Slice 107 of 155; Head; Image width 240 mm, 1.00 mm slice spacing
FLAIR magnetic resonance.
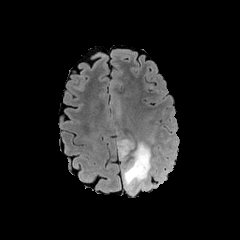
T1-weighted MRI.
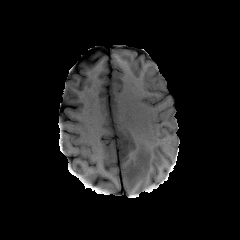
Post-contrast T1-weighted MR.
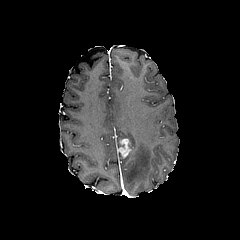
T2-weighted magnetic resonance.
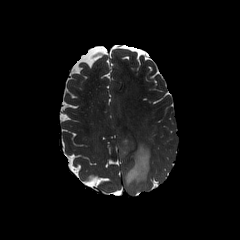
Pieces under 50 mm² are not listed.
peritumoral edema: box=[119, 142, 157, 193]; box=[156, 171, 163, 182] | enhancing tumor: box=[118, 139, 131, 158]